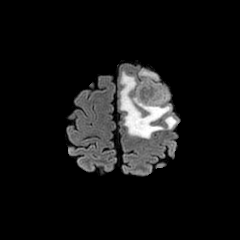
FLAIR MRI.
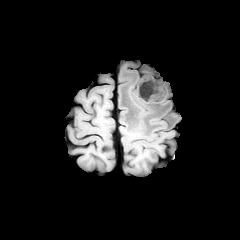
T1-weighted magnetic resonance.
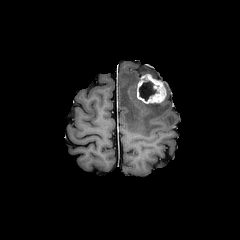
Post-contrast T1-weighted magnetic resonance.
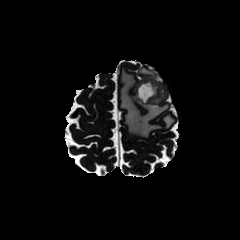
T2-weighted MR image.
Axial plane | Image size 240x240
necrotic tumor core — rect(139, 81, 156, 100)
peritumoral edema — rect(119, 68, 175, 138)
enhancing tumor — rect(137, 74, 166, 103)